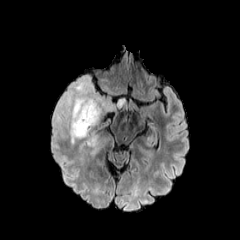
FLAIR magnetic resonance.
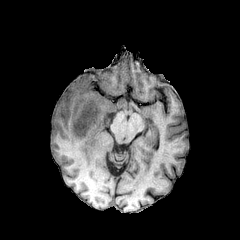
Same slice, T1-weighted MR.
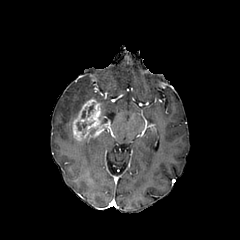
Post-contrast T1-weighted MR of the same slice.
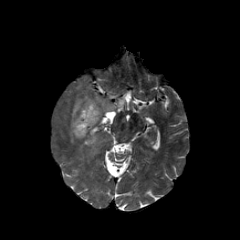
Same slice, T2-weighted MR.
Image size 240x240; Axial plane
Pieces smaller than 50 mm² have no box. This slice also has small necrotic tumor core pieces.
Findings:
• peritumoral edema: [52, 74, 125, 152]
• enhancing tumor: [72, 98, 105, 141]